Slice 105/155; Axial slice
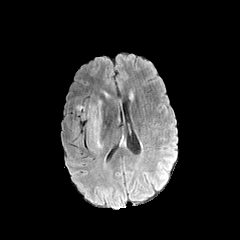
FLAIR MR.
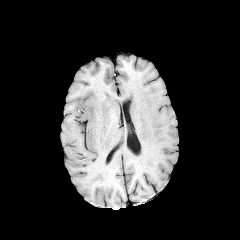
Same slice, T1-weighted MR image.
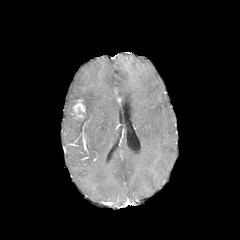
Post-contrast T1-weighted magnetic resonance of the same slice.
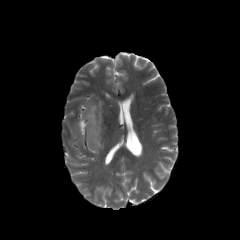
Same slice, T2-weighted MRI.
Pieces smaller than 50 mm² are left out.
peritumoral_edema:
  - x1=87, y1=100, x2=102, y2=148
enhancing_tumor:
  - x1=74, y1=102, x2=84, y2=112